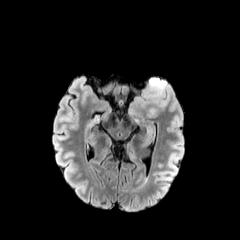
FLAIR MRI.
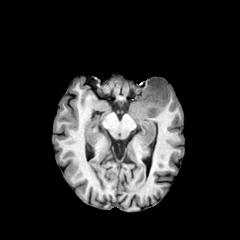
T1-weighted MR.
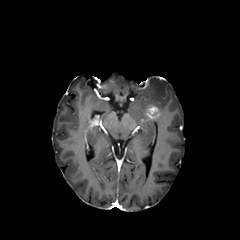
Post-contrast T1-weighted MR image.
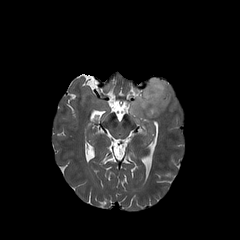
T2-weighted MR.
Brain. Axial slice.
peritumoral edema — <bbox>129, 78, 170, 122</bbox>
enhancing tumor — <bbox>146, 105, 160, 118</bbox>